Axial plane, Slice 64/155, Image width 240 mm, 1.00 mm slice spacing
FLAIR MR image.
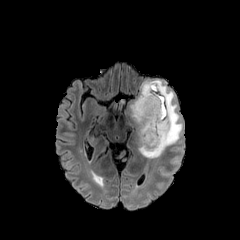
T1-weighted magnetic resonance.
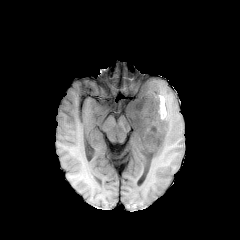
Post-contrast T1-weighted MRI.
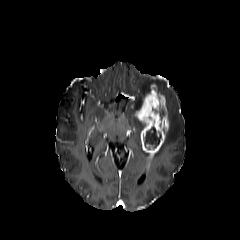
T2-weighted MR image.
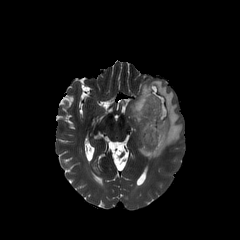
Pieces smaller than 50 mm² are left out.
Segmented structures:
* enhancing tumor: [x1=133, y1=83, x2=168, y2=156]
* peritumoral edema: [x1=129, y1=79, x2=182, y2=157]
* necrotic tumor core: [x1=159, y1=107, x2=165, y2=119], [x1=147, y1=127, x2=161, y2=147]